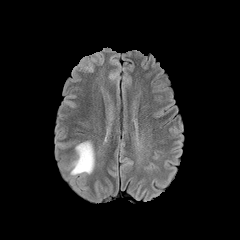
FLAIR MR.
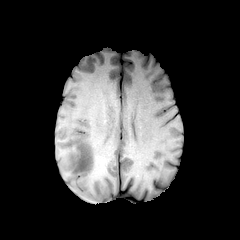
T1-weighted MR.
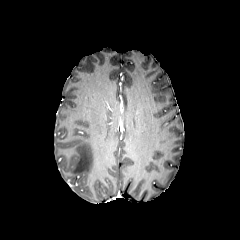
Post-contrast T1-weighted MR of the same slice.
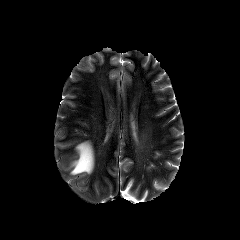
T2-weighted magnetic resonance.
Brain | Axial view
peritumoral edema: [x1=71, y1=141, x2=94, y2=175]